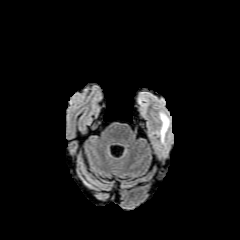
FLAIR MR image.
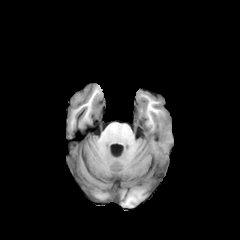
Same slice, T1-weighted MRI.
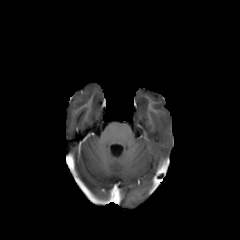
Post-contrast T1-weighted MR.
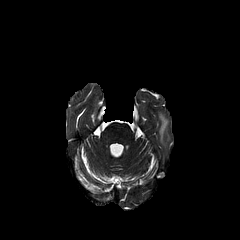
T2-weighted magnetic resonance.
Head
<segmentation>
  <peritumoral_edema>box=[159, 113, 169, 142]</peritumoral_edema>
</segmentation>